Axial slice; Slice index 102
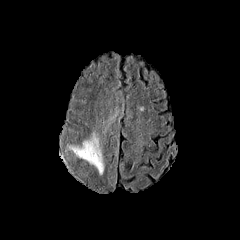
FLAIR MR.
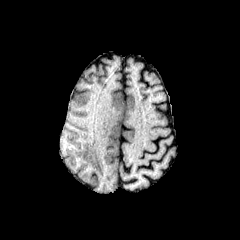
T1-weighted MR.
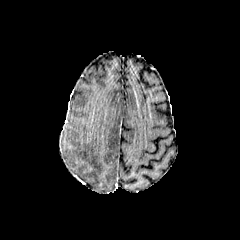
Same slice, post-contrast T1-weighted MR image.
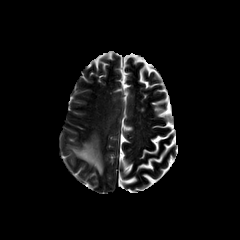
T2-weighted MR image.
peritumoral edema = x1=69, y1=134, x2=103, y2=174